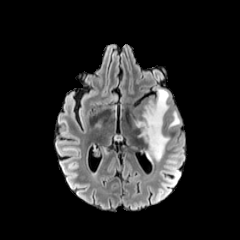
FLAIR MRI.
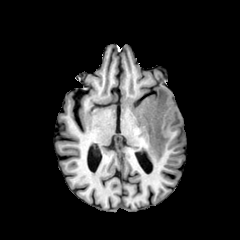
T1-weighted MR image.
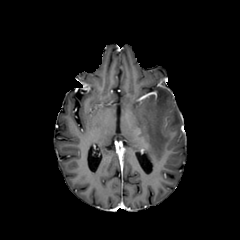
Post-contrast T1-weighted MRI.
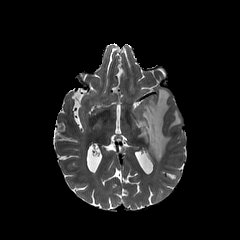
Same slice, T2-weighted MR image.
Brain.
2 peritumoral edema regions are bounded by <bbox>169, 110, 180, 127</bbox>, <bbox>133, 88, 170, 161</bbox>.